Brain | Axial view
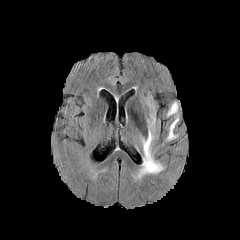
FLAIR MRI.
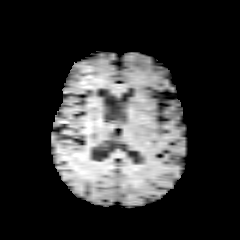
T1-weighted MR.
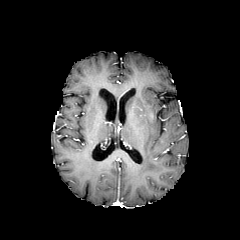
Post-contrast T1-weighted MR.
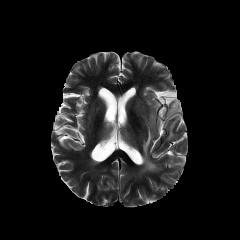
T2-weighted MR image.
Annotated regions:
- peritumoral edema: bbox=[149, 114, 155, 126]; bbox=[167, 102, 177, 115]; bbox=[167, 117, 178, 139]; bbox=[140, 129, 162, 173]